FLAIR magnetic resonance.
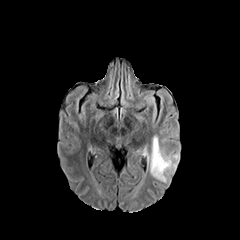
T1-weighted MR image.
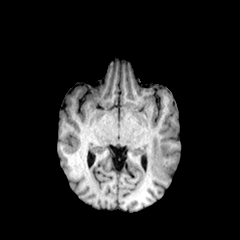
Post-contrast T1-weighted MR image.
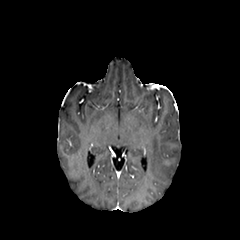
T2-weighted MR.
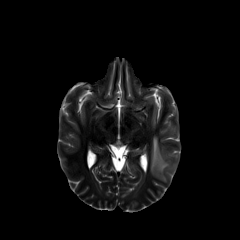
Brain | Axial view
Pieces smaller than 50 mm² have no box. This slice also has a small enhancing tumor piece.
peritumoral edema — rect(150, 135, 179, 182)